Brain
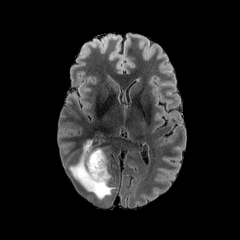
FLAIR MRI.
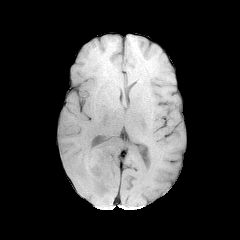
T1-weighted MRI.
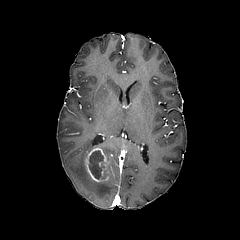
Same slice, post-contrast T1-weighted MR.
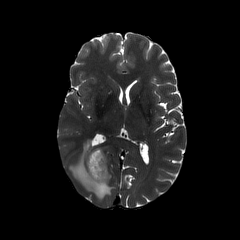
T2-weighted magnetic resonance of the same slice.
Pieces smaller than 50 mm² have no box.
The largest peritumoral edema region is located at 69,139,114,199. The necrotic tumor core lies within 89,150,104,179. The enhancing tumor is bounded by 85,147,109,183.